Image covers 240 mm x 240 mm, Brain, Image size 240x240
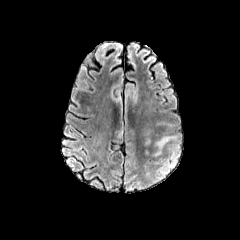
FLAIR magnetic resonance.
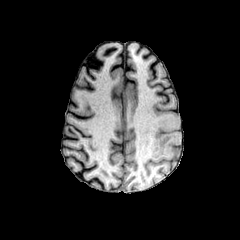
T1-weighted MR.
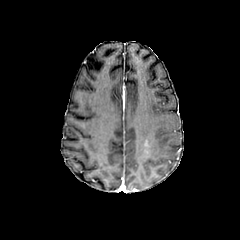
Post-contrast T1-weighted MR image.
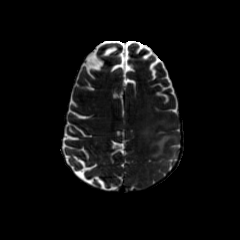
Same slice, T2-weighted MR image.
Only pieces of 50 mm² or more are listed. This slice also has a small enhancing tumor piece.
Segmented structures:
• peritumoral edema: (x1=168, y1=144, x2=178, y2=157), (x1=153, y1=135, x2=179, y2=156), (x1=144, y1=129, x2=151, y2=139)